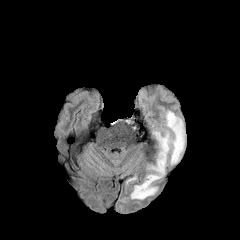
FLAIR MR image.
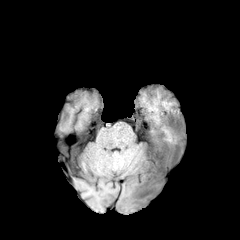
T1-weighted magnetic resonance.
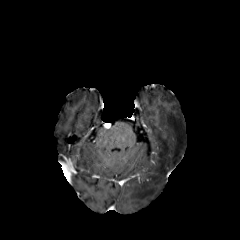
Post-contrast T1-weighted magnetic resonance.
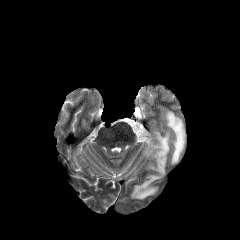
T2-weighted MRI.
240x240; Axial plane; Head
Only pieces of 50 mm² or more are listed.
peritumoral edema: bounding box 130,110,185,199